Head
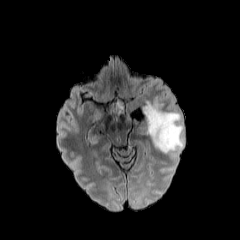
FLAIR MR.
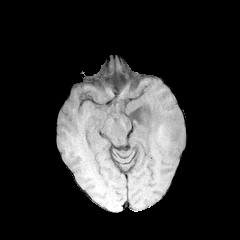
Same slice, T1-weighted magnetic resonance.
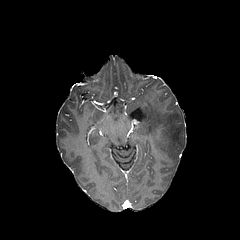
Post-contrast T1-weighted MR of the same slice.
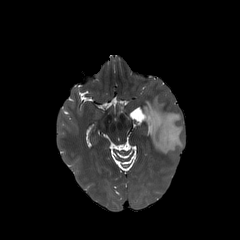
Same slice, T2-weighted MR image.
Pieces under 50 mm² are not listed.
peritumoral edema: bounding box (143, 96, 184, 154)